Brain, Axial plane
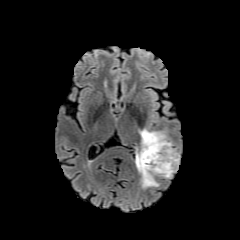
FLAIR MRI.
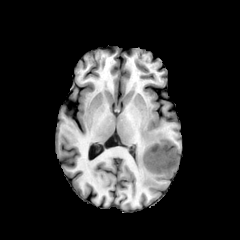
T1-weighted MR image of the same slice.
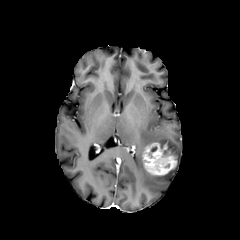
Post-contrast T1-weighted MRI of the same slice.
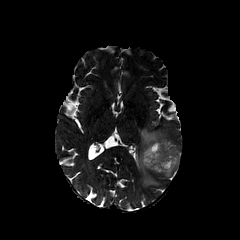
Same slice, T2-weighted MR image.
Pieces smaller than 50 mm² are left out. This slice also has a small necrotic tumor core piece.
The enhancing tumor is bounded by (142, 142, 176, 175). The peritumoral edema is located at (135, 128, 179, 187).